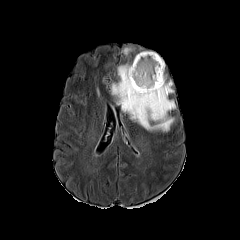
FLAIR magnetic resonance.
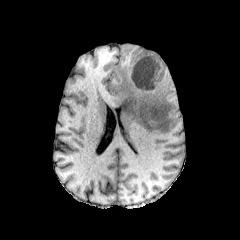
T1-weighted MR image.
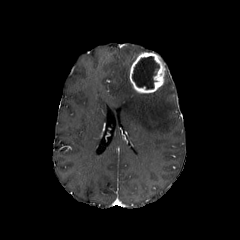
Post-contrast T1-weighted magnetic resonance.
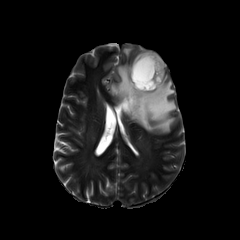
Same slice, T2-weighted MRI.
Head | 240x240 px | Axial slice
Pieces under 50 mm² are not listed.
• peritumoral edema: box=[123, 47, 132, 55]; box=[110, 63, 176, 133]
• necrotic tumor core: box=[132, 56, 159, 89]
• enhancing tumor: box=[129, 52, 165, 93]